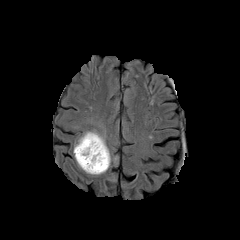
FLAIR MR image.
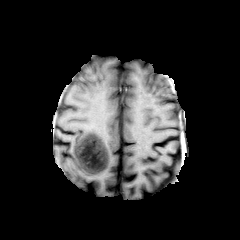
T1-weighted MR image.
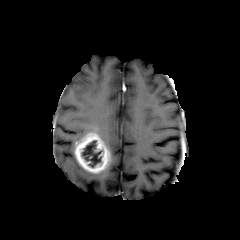
Post-contrast T1-weighted magnetic resonance.
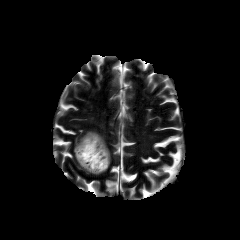
Same slice, T2-weighted MR image.
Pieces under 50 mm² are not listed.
The necrotic tumor core is bounded by (left=82, top=140, right=102, bottom=167). The largest enhancing tumor region lies within (left=75, top=132, right=110, bottom=173). The 2 largest peritumoral edema regions are located at (left=77, top=130, right=106, bottom=145), (left=85, top=162, right=110, bottom=174).